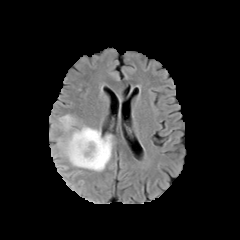
FLAIR MR image.
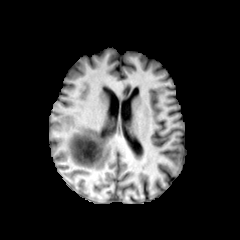
Same slice, T1-weighted MR.
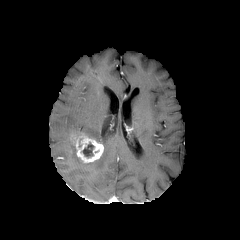
Post-contrast T1-weighted magnetic resonance of the same slice.
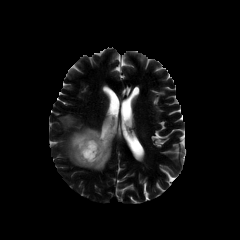
T2-weighted MR of the same slice.
Brain, 240x240
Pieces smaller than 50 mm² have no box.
Findings:
• necrotic tumor core: x1=83, y1=143, x2=93, y2=157
• peritumoral edema: x1=59, y1=126, x2=112, y2=171; x1=59, y1=115, x2=76, y2=131
• enhancing tumor: x1=70, y1=133, x2=103, y2=163